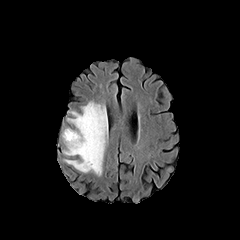
FLAIR magnetic resonance.
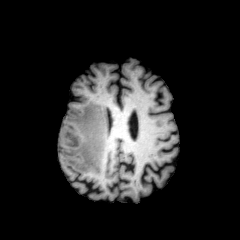
T1-weighted MR.
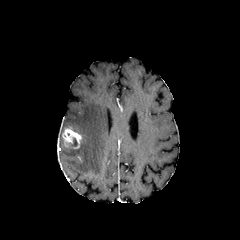
Post-contrast T1-weighted MRI.
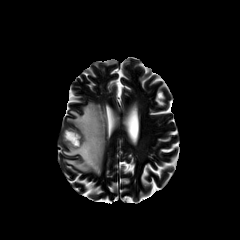
T2-weighted MR image.
Head | 240x240 px
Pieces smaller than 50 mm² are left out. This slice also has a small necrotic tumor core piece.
enhancing tumor: (62, 127, 82, 148) | peritumoral edema: (63, 101, 107, 175)